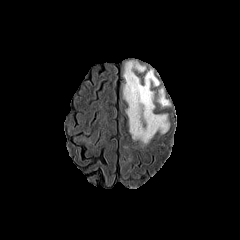
FLAIR magnetic resonance.
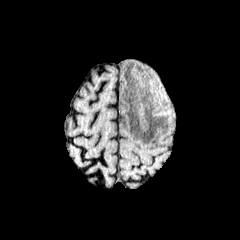
Same slice, T1-weighted MR image.
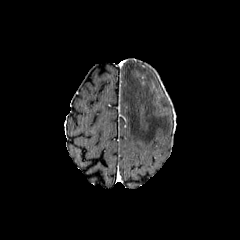
Post-contrast T1-weighted MR image of the same slice.
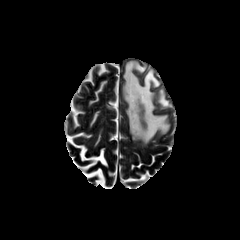
T2-weighted magnetic resonance of the same slice.
Brain.
• peritumoral edema: 157 89 170 107, 123 61 169 144